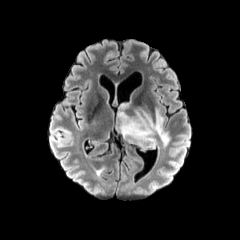
FLAIR MR.
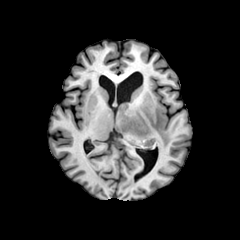
Same slice, T1-weighted MRI.
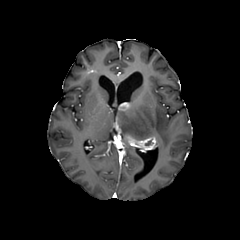
Post-contrast T1-weighted magnetic resonance.
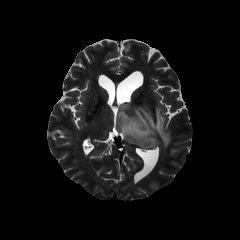
Same slice, T2-weighted MRI.
Axial view
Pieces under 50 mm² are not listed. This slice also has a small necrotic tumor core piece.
peritumoral_edema:
  - 117,108,169,147
enhancing_tumor:
  - 125,135,156,150
  - 118,102,130,110